FLAIR magnetic resonance.
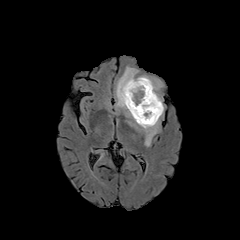
T1-weighted MR.
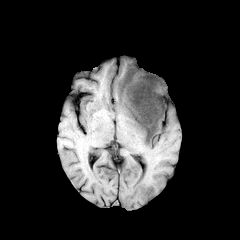
Post-contrast T1-weighted MR.
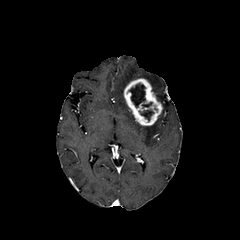
T2-weighted MR image.
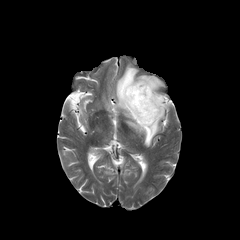
Head; Axial plane; 240x240
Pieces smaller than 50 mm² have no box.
peritumoral edema: 116 66 163 146, 138 75 163 102
necrotic tumor core: 139 110 153 120, 129 83 145 107
enhancing tumor: 123 78 162 126